240x240 | Brain
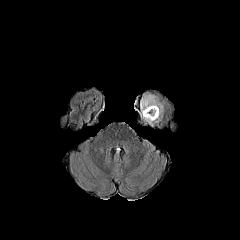
FLAIR MR.
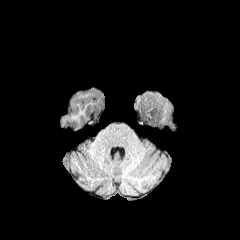
Same slice, T1-weighted MR image.
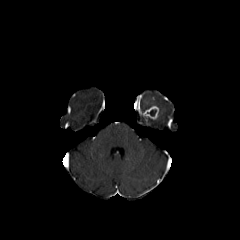
Same slice, post-contrast T1-weighted magnetic resonance.
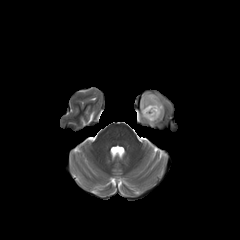
T2-weighted MRI of the same slice.
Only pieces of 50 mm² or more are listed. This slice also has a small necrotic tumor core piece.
The peritumoral edema lies within <bbox>140, 93, 164, 125</bbox>. The enhancing tumor is bounded by <bbox>140, 106, 158, 119</bbox>.